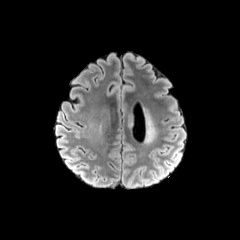
FLAIR MR image.
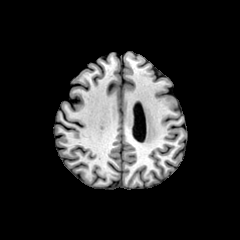
Same slice, T1-weighted magnetic resonance.
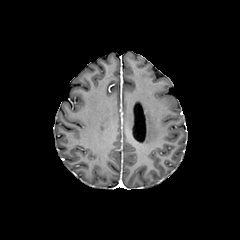
Post-contrast T1-weighted MRI of the same slice.
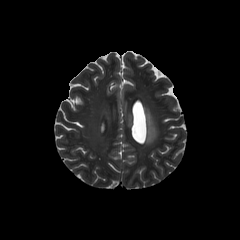
Same slice, T2-weighted MR.
Axial view, 240x240 px
Segmented structures:
• peritumoral edema: (145,111,157,143), (128,115,132,127)